FLAIR magnetic resonance.
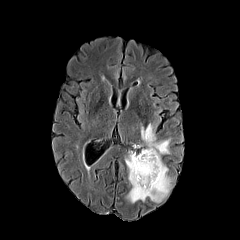
T1-weighted MR.
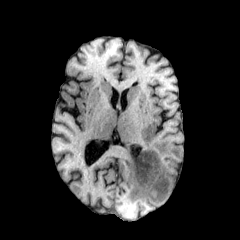
Post-contrast T1-weighted MRI.
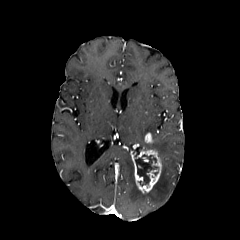
T2-weighted MR image.
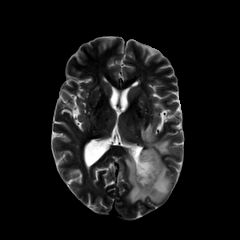
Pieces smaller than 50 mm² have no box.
The 2 largest enhancing tumor regions are bounded by 131 149 161 193, 145 132 153 143. The largest necrotic tumor core region lies within 135 154 158 186. 2 peritumoral edema regions are bounded by 125 154 171 202, 141 123 170 157.